Slice index 132, Head, Axial slice
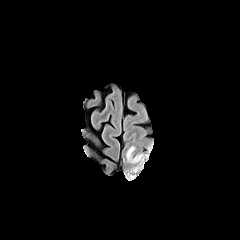
FLAIR magnetic resonance.
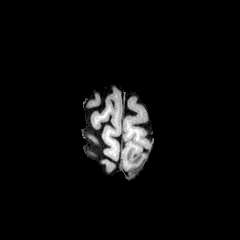
T1-weighted magnetic resonance.
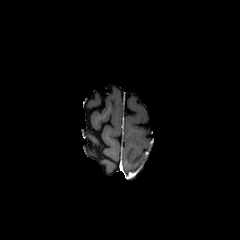
Post-contrast T1-weighted MRI.
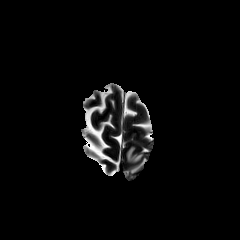
T2-weighted MR image.
<segmentation>
  <peritumoral_edema>126:146:142:162</peritumoral_edema>
</segmentation>